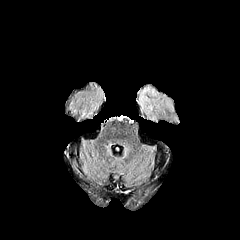
FLAIR magnetic resonance.
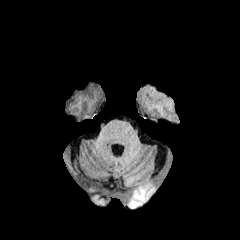
T1-weighted MR of the same slice.
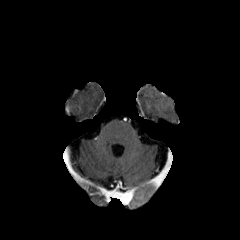
Same slice, post-contrast T1-weighted MRI.
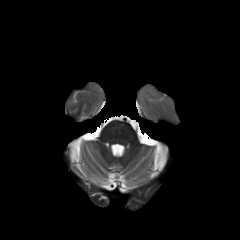
T2-weighted magnetic resonance of the same slice.
Brain.
Findings:
* peritumoral edema: [x1=140, y1=86, x2=171, y2=117]